FLAIR MR.
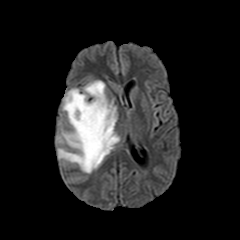
T1-weighted magnetic resonance.
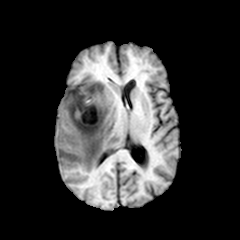
Post-contrast T1-weighted MRI.
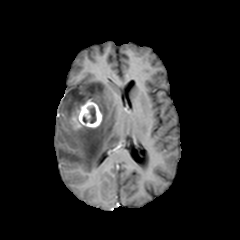
T2-weighted MR.
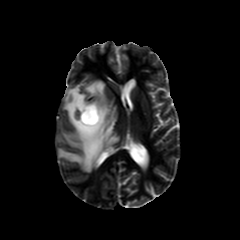
Head; Axial slice
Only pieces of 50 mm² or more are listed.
peritumoral edema: bounding box region(56, 80, 119, 173)
necrotic tumor core: bounding box region(89, 107, 96, 123)
enhancing tumor: bounding box region(71, 101, 102, 128)